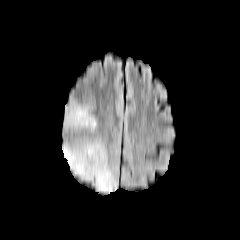
FLAIR MR image.
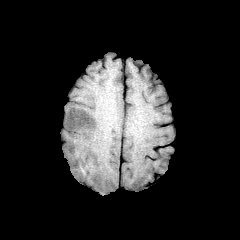
T1-weighted MR image.
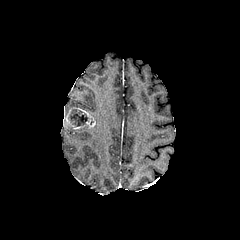
Post-contrast T1-weighted MR image.
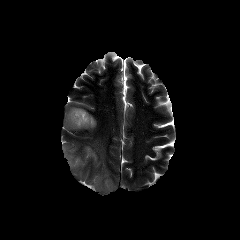
T2-weighted MR image of the same slice.
Image size 240x240.
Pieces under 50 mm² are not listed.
peritumoral edema: rect(64, 102, 89, 116); rect(62, 140, 117, 193); rect(64, 117, 96, 131) | enhancing tumor: rect(64, 107, 95, 129) | necrotic tumor core: rect(68, 109, 88, 126)